Slice 121 of 155 | Axial view | Brain
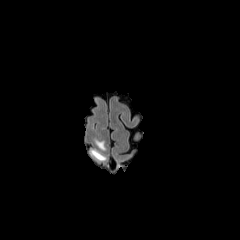
FLAIR MRI.
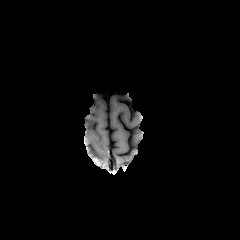
T1-weighted MRI of the same slice.
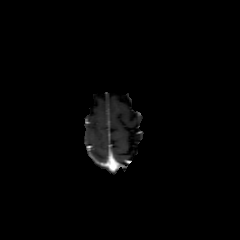
Same slice, post-contrast T1-weighted MR image.
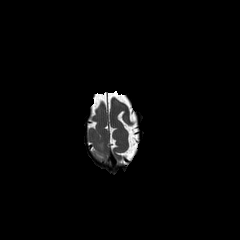
T2-weighted MR of the same slice.
peritumoral edema: region(95, 140, 105, 149); region(90, 149, 106, 161)